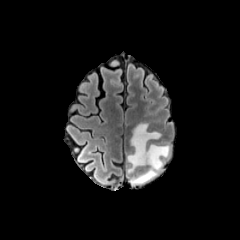
FLAIR MRI.
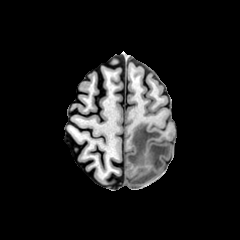
T1-weighted magnetic resonance.
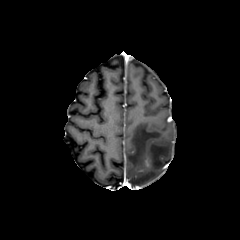
Post-contrast T1-weighted MR image.
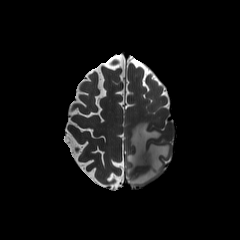
T2-weighted magnetic resonance of the same slice.
Image size 240x240, Axial slice
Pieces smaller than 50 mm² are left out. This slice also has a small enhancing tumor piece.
<segmentation>
  <peritumoral_edema>[x1=126, y1=123, x2=171, y2=186]</peritumoral_edema>
</segmentation>